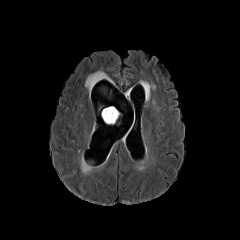
FLAIR MR image.
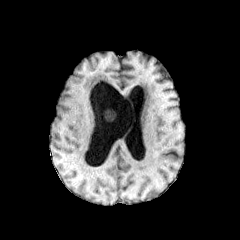
T1-weighted MR of the same slice.
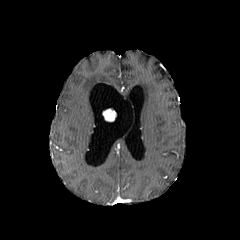
Post-contrast T1-weighted MRI.
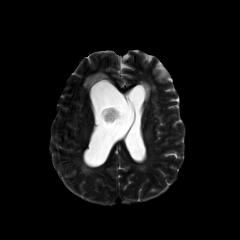
T2-weighted magnetic resonance.
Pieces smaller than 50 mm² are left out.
enhancing_tumor:
  - <box>102,108,116,121</box>
peritumoral_edema:
  - <box>85,71,112,93</box>